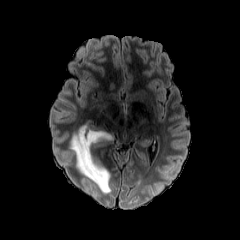
FLAIR MRI.
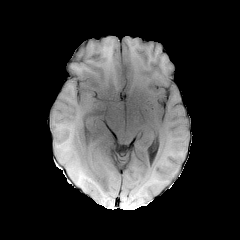
T1-weighted magnetic resonance.
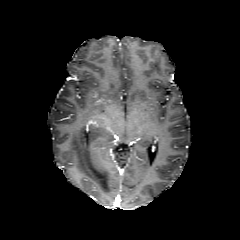
Same slice, post-contrast T1-weighted MR.
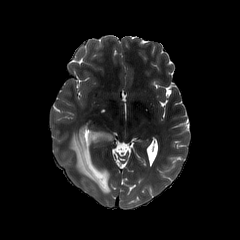
T2-weighted MR image of the same slice.
240x240 px | Axial view | Head
Findings:
- peritumoral edema: region(70, 126, 113, 193)